FLAIR magnetic resonance.
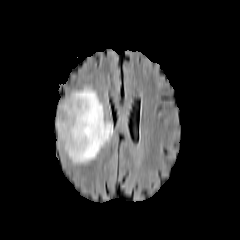
T1-weighted MRI.
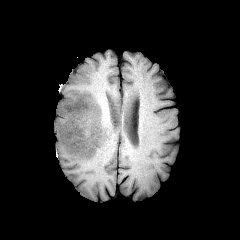
Post-contrast T1-weighted MR image.
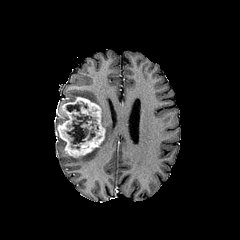
T2-weighted magnetic resonance.
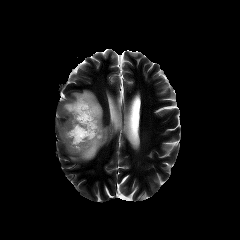
240x240 | Brain | Axial plane
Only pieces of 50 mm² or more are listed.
necrotic tumor core: bounding box (66,104,96,144)
enhancing tumor: bounding box (81,121,92,129), (57,97,105,157)
peritumoral edema: bounding box (61,88,113,163)